FLAIR MR.
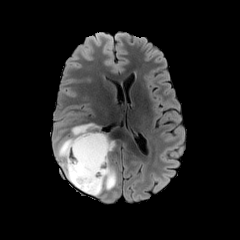
T1-weighted MRI.
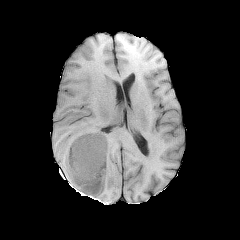
Post-contrast T1-weighted MR image.
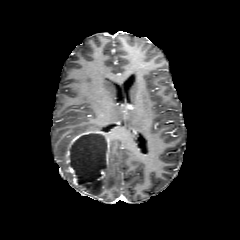
T2-weighted magnetic resonance.
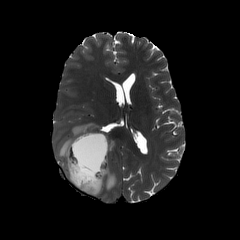
Brain. Image size 240x240.
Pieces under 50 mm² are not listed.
necrotic tumor core — region(69, 134, 106, 195)
enhancing tumor — region(65, 131, 109, 196)
peritumoral edema — region(71, 123, 97, 136); region(56, 137, 72, 182); region(96, 160, 116, 195)